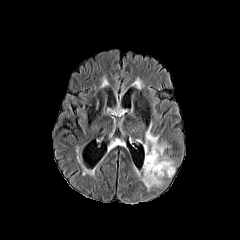
FLAIR MRI.
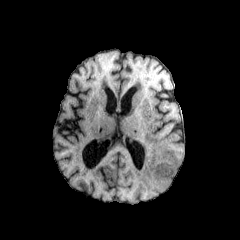
Same slice, T1-weighted magnetic resonance.
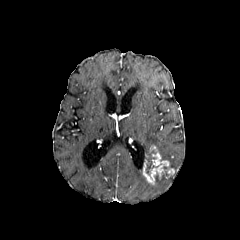
Post-contrast T1-weighted magnetic resonance of the same slice.
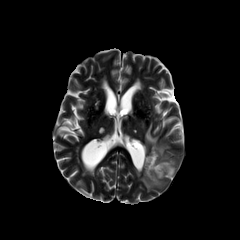
T2-weighted MR image.
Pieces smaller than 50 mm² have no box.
The enhancing tumor is at [142, 146, 174, 184]. The 2 largest peritumoral edema regions appear at [134, 166, 162, 190], [143, 123, 174, 169]. The largest necrotic tumor core region appears at [146, 152, 155, 174].